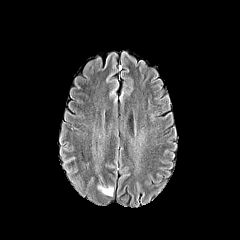
FLAIR MRI.
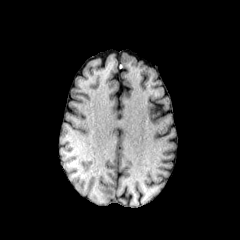
T1-weighted MR image.
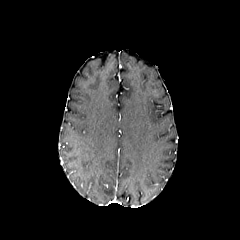
Post-contrast T1-weighted MRI of the same slice.
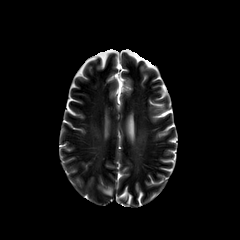
T2-weighted magnetic resonance of the same slice.
240x240 px | Axial slice
peritumoral edema: (left=98, top=186, right=113, bottom=195)